Image width 240 mm, 1.00 mm slice spacing | Brain | Slice 58/155 | Image size 240x240
FLAIR magnetic resonance.
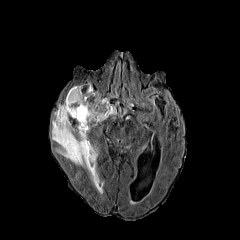
T1-weighted MRI.
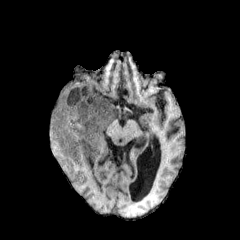
Post-contrast T1-weighted MR.
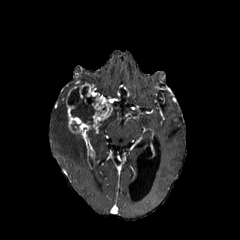
T2-weighted magnetic resonance.
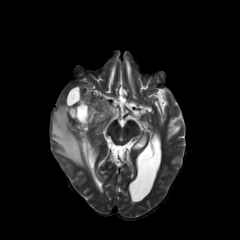
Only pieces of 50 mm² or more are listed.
The enhancing tumor lies within 66:83:112:159. The largest peritumoral edema region is bounded by 51:100:98:184. The largest necrotic tumor core region is bounded by 68:86:95:124.